FLAIR MR.
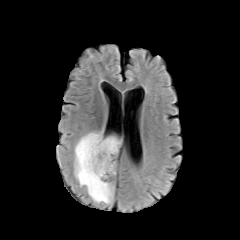
T1-weighted magnetic resonance.
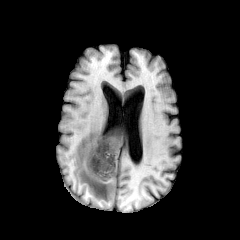
Post-contrast T1-weighted MR image.
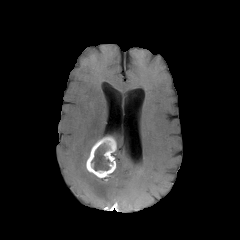
T2-weighted MR.
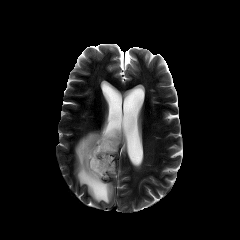
Brain; Image size 240x240; Axial view
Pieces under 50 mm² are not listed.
<segmentation>
  <peritumoral_edema>(108, 135, 121, 158), (74, 128, 114, 205)</peritumoral_edema>
  <enhancing_tumor>(86, 136, 116, 178)</enhancing_tumor>
  <necrotic_tumor_core>(91, 141, 110, 170)</necrotic_tumor_core>
</segmentation>